FLAIR MR image.
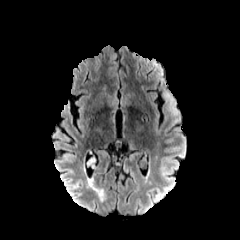
T1-weighted MR image.
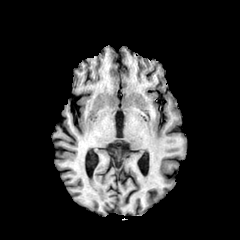
Post-contrast T1-weighted MR image.
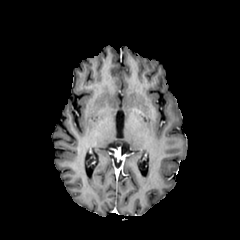
T2-weighted MR.
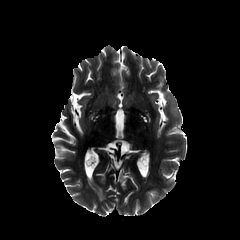
240x240 px; Head
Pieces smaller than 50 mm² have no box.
<segmentation>
  <peritumoral_edema>(164,91,175,106)</peritumoral_edema>
</segmentation>